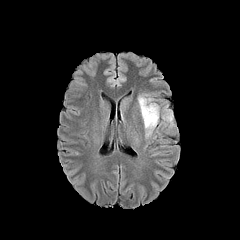
FLAIR MR.
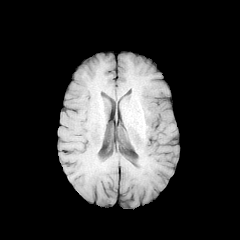
T1-weighted MR image.
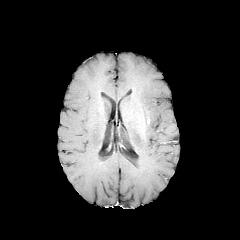
Post-contrast T1-weighted MR.
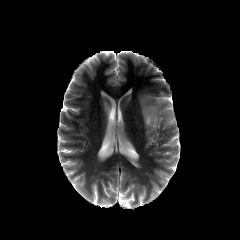
T2-weighted magnetic resonance.
Brain.
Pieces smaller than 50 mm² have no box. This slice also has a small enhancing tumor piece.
Annotated regions:
- peritumoral edema: [139, 97, 158, 134], [163, 106, 172, 125]